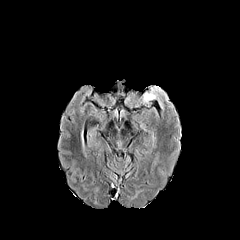
FLAIR MRI.
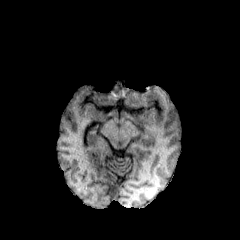
T1-weighted MRI of the same slice.
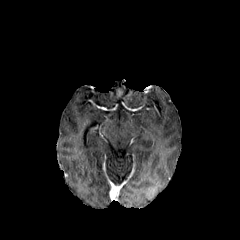
Same slice, post-contrast T1-weighted MR.
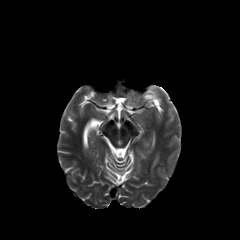
T2-weighted magnetic resonance of the same slice.
240x240 px | Axial slice | Brain
Findings:
* peritumoral edema: l=144, t=93, r=155, b=100